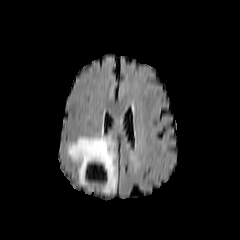
FLAIR MRI.
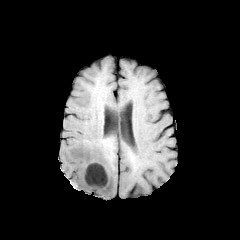
T1-weighted MR.
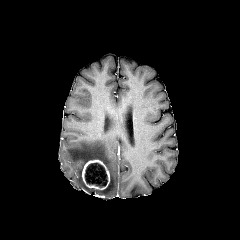
Post-contrast T1-weighted MR of the same slice.
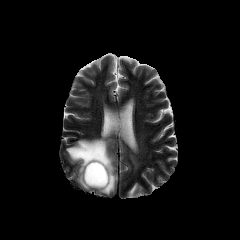
T2-weighted magnetic resonance of the same slice.
Axial view. Image size 240x240.
necrotic tumor core at 85, 163, 107, 187
enhancing tumor at 82, 159, 110, 189
peritumoral edema at 67, 132, 117, 194